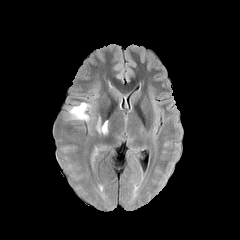
FLAIR MR.
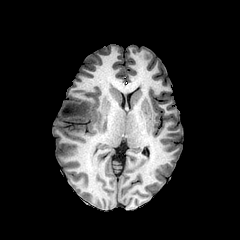
T1-weighted MR image.
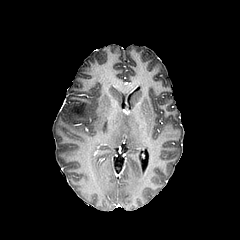
Post-contrast T1-weighted MRI.
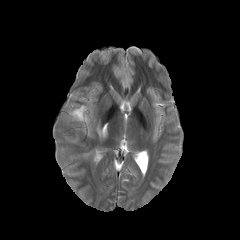
Same slice, T2-weighted MRI.
240x240; Axial plane
• peritumoral edema: left=97, top=120, right=107, bottom=134; left=69, top=103, right=90, bottom=120